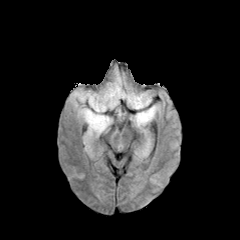
FLAIR MR image.
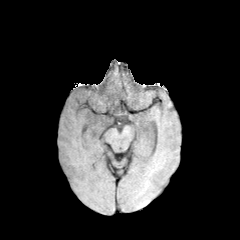
Same slice, T1-weighted MR.
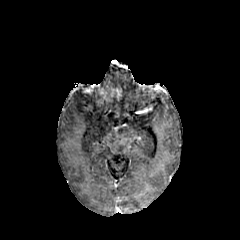
Post-contrast T1-weighted MR.
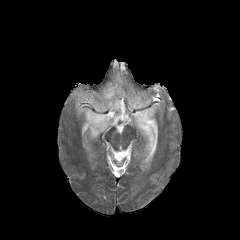
T2-weighted MR.
Axial plane | Head
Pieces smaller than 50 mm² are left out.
peritumoral edema: box(70, 68, 151, 155); box(143, 137, 150, 154); box(130, 105, 158, 128) | enhancing tumor: box(110, 88, 121, 99); box(98, 88, 109, 100)